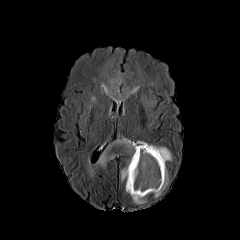
FLAIR magnetic resonance.
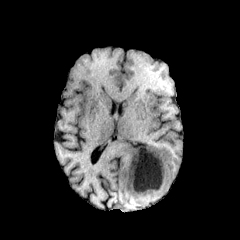
T1-weighted magnetic resonance.
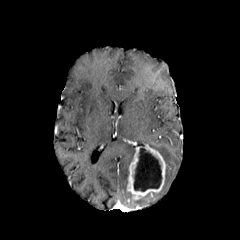
Post-contrast T1-weighted MR.
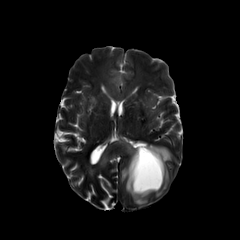
T2-weighted MRI.
Head
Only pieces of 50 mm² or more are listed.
necrotic tumor core: bbox(134, 144, 161, 191)
peritumoral edema: bbox(142, 97, 159, 130); bbox(99, 140, 146, 204); bbox(154, 168, 168, 197); bbox(109, 75, 131, 98); bbox(149, 144, 171, 162)
enhancing tumor: bbox(127, 144, 165, 199)